Brain; Image size 240x240
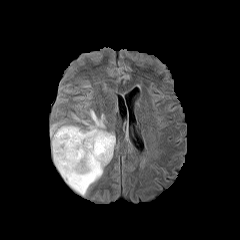
FLAIR MR.
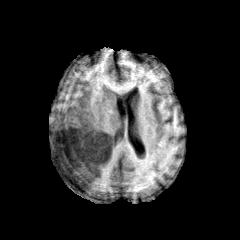
Same slice, T1-weighted MR image.
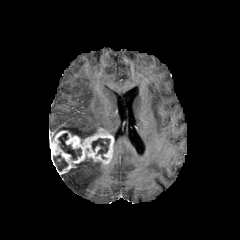
Post-contrast T1-weighted magnetic resonance.
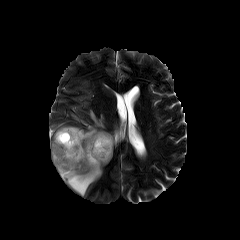
T2-weighted MR.
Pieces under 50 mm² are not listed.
3 necrotic tumor core regions appear at <box>54,155,67,171</box>, <box>92,138,109,158</box>, <box>58,133,81,159</box>. The largest enhancing tumor region is located at <box>50,128,114,174</box>. The 2 largest peritumoral edema regions appear at <box>61,159,104,195</box>, <box>51,110,105,138</box>.